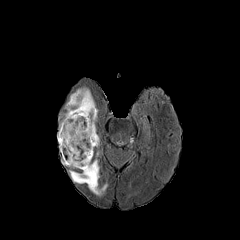
FLAIR MR.
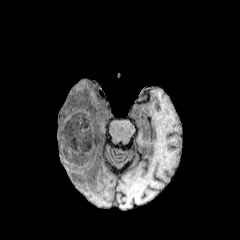
Same slice, T1-weighted MR.
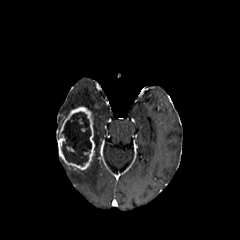
Post-contrast T1-weighted MRI.
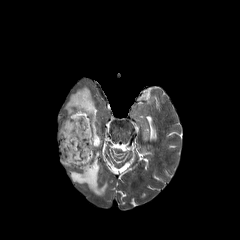
T2-weighted MR image.
Axial view
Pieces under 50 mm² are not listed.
enhancing tumor: [58,106,94,170] | necrotic tumor core: [61,112,91,165] | peritumoral edema: [65,87,99,147], [69,159,107,195]